Image size 240x240; Slice index 71; Axial view
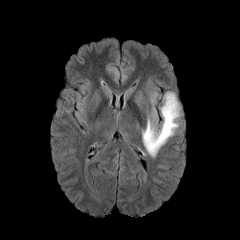
FLAIR MR.
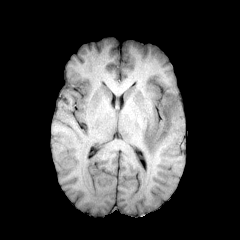
T1-weighted MR image of the same slice.
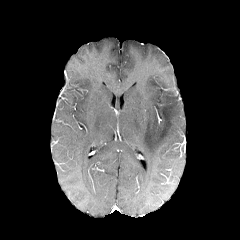
Post-contrast T1-weighted MR image.
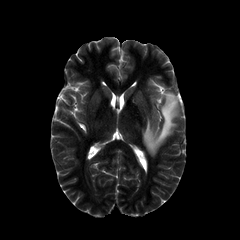
T2-weighted MR.
peritumoral edema: box(142, 92, 180, 157)